Axial view, Image width 240 mm, 1.00 mm slice spacing, Slice 80/155
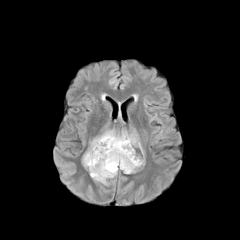
FLAIR magnetic resonance.
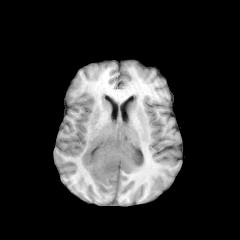
T1-weighted magnetic resonance.
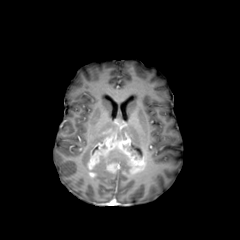
Same slice, post-contrast T1-weighted MRI.
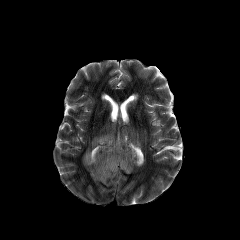
T2-weighted MR.
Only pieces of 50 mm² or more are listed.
necrotic tumor core: x1=131, y1=142, x2=142, y2=156; x1=108, y1=150, x2=131, y2=171
enhancing tumor: x1=87, y1=133, x2=146, y2=173
peritumoral edema: x1=82, y1=130, x2=115, y2=167; x1=89, y1=156, x2=117, y2=185; x1=129, y1=134, x2=140, y2=145